Image size 240x240; Head; Image width 240 mm
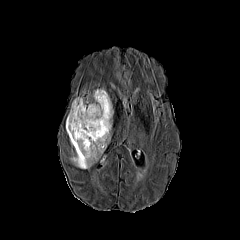
FLAIR MR.
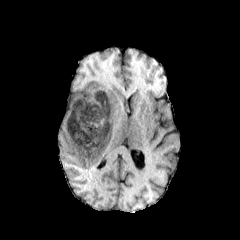
T1-weighted magnetic resonance.
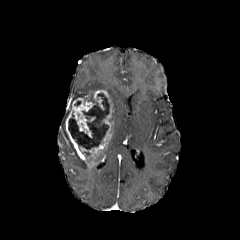
Post-contrast T1-weighted MR image.
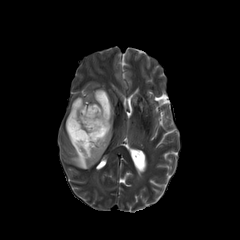
T2-weighted MRI.
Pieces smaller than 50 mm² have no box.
The largest necrotic tumor core region is located at 68, 93, 109, 149. The enhancing tumor is bounded by 66, 90, 113, 167. The largest peritumoral edema region appears at 71, 154, 88, 168.